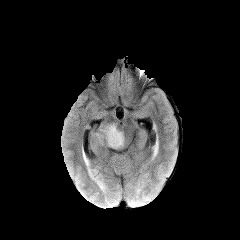
FLAIR magnetic resonance.
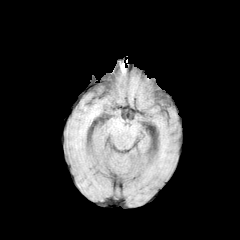
T1-weighted MRI.
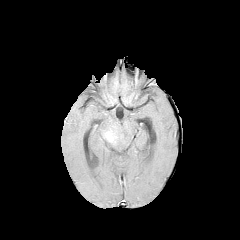
Same slice, post-contrast T1-weighted MRI.
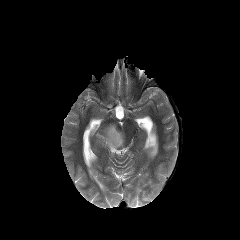
T2-weighted magnetic resonance.
Axial view. Brain.
The enhancing tumor is located at [104, 131, 117, 142]. The peritumoral edema lies within [95, 124, 124, 148].